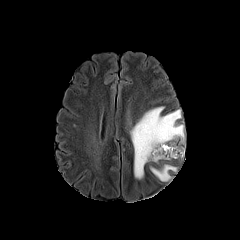
FLAIR magnetic resonance.
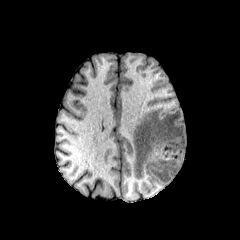
T1-weighted MR.
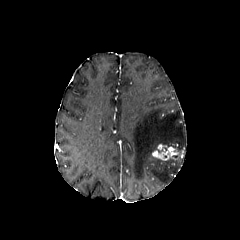
Post-contrast T1-weighted magnetic resonance of the same slice.
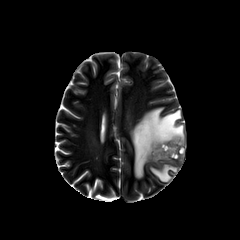
Same slice, T2-weighted magnetic resonance.
Axial slice
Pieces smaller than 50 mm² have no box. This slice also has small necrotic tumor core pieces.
peritumoral edema: (x1=130, y1=107, x2=185, y2=179), (x1=150, y1=164, x2=177, y2=181)
enhancing tumor: (x1=152, y1=143, x2=184, y2=160)